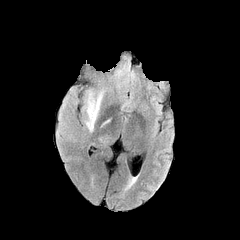
FLAIR MRI.
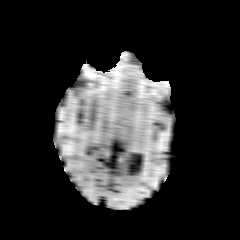
T1-weighted MRI.
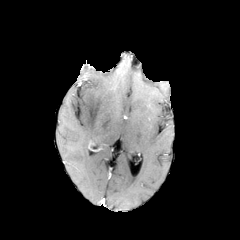
Same slice, post-contrast T1-weighted MRI.
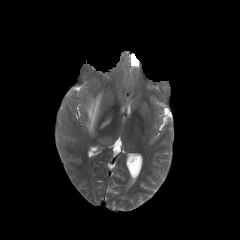
T2-weighted magnetic resonance of the same slice.
Brain; Axial slice; 240x240 px
peritumoral edema: <bbox>87, 94, 101, 131</bbox>